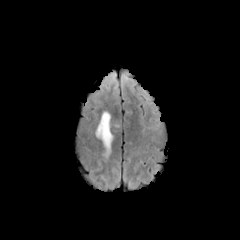
FLAIR MR image.
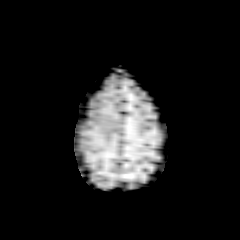
Same slice, T1-weighted MRI.
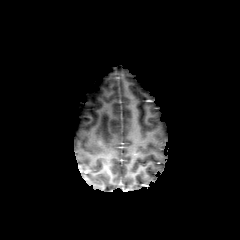
Post-contrast T1-weighted MR of the same slice.
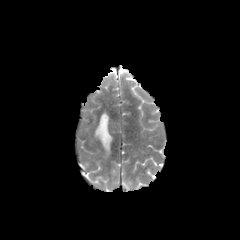
Same slice, T2-weighted MRI.
Head
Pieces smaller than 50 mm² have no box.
Findings:
* peritumoral edema: bbox=[95, 111, 113, 154]